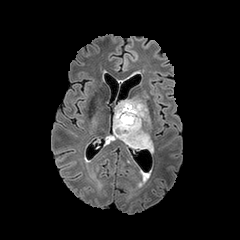
FLAIR MR image.
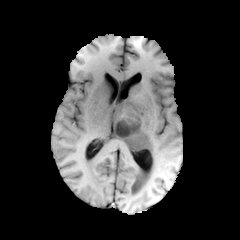
Same slice, T1-weighted MR image.
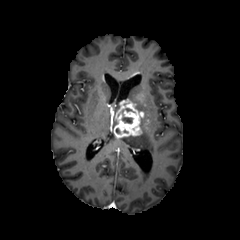
Post-contrast T1-weighted MR of the same slice.
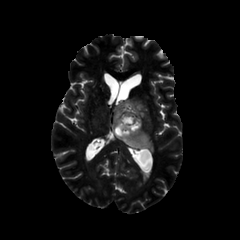
T2-weighted magnetic resonance of the same slice.
Axial view, 240x240 px
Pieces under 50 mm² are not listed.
The largest necrotic tumor core region is at box=[122, 107, 135, 125]. The largest enhancing tumor region appears at box=[114, 99, 143, 136]. 2 peritumoral edema regions are located at box=[114, 104, 120, 127]; box=[118, 96, 153, 151].